FLAIR magnetic resonance.
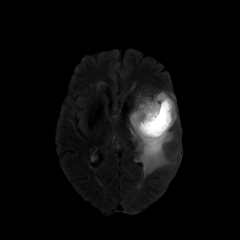
T1-weighted MR image.
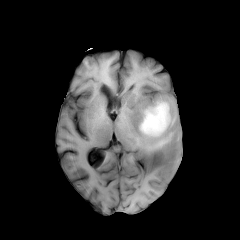
Post-contrast T1-weighted magnetic resonance.
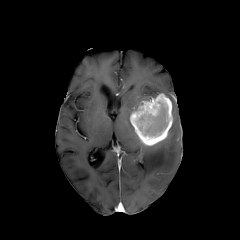
T2-weighted magnetic resonance.
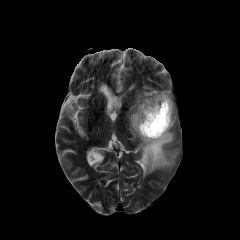
Head, Axial view
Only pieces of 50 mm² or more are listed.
peritumoral_edema:
  - [132,95,151,111]
  - [129,91,177,177]
enhancing_tumor:
  - [130,93,172,145]
necrotic_tumor_core:
  - [146,105,166,133]